Axial plane | Slice 57/155
FLAIR magnetic resonance.
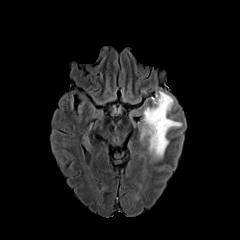
T1-weighted MR.
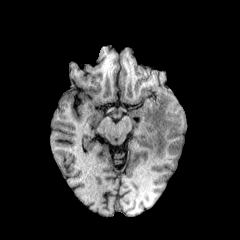
Post-contrast T1-weighted MR image.
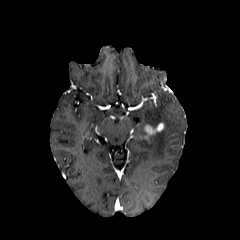
T2-weighted magnetic resonance.
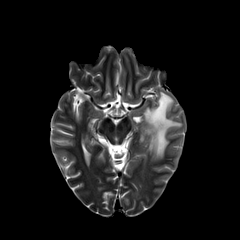
enhancing tumor: region(144, 122, 164, 135) | peritumoral edema: region(141, 91, 181, 159)